FLAIR MRI.
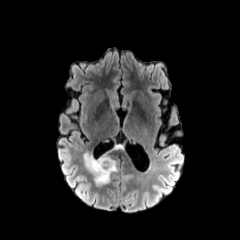
T1-weighted magnetic resonance.
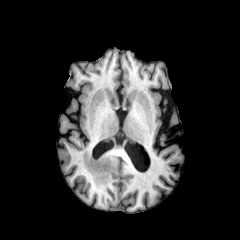
Post-contrast T1-weighted magnetic resonance.
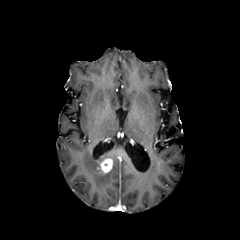
T2-weighted magnetic resonance.
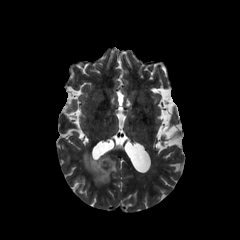
Axial slice; Brain
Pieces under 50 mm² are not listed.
enhancing tumor: (97, 158, 112, 173) | peritumoral edema: (84, 152, 117, 185)